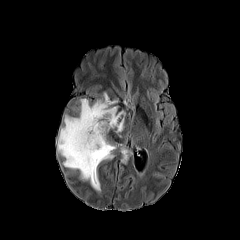
FLAIR MR.
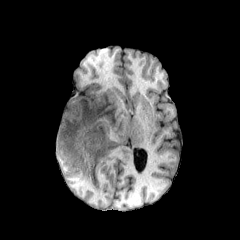
T1-weighted MR.
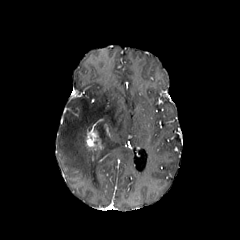
Post-contrast T1-weighted MR of the same slice.
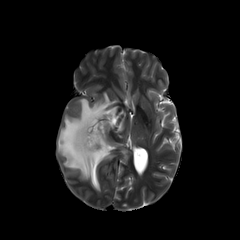
T2-weighted MRI of the same slice.
Brain
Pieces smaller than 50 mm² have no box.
enhancing_tumor:
  - 86 127 102 149
peritumoral_edema:
  - 57 92 124 191
  - 121 148 130 164